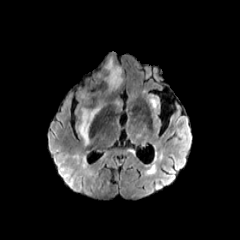
FLAIR MR image.
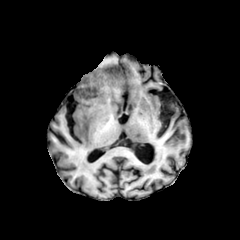
T1-weighted MRI.
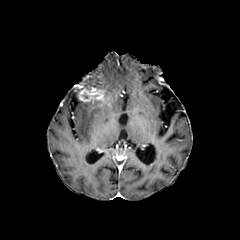
Post-contrast T1-weighted magnetic resonance.
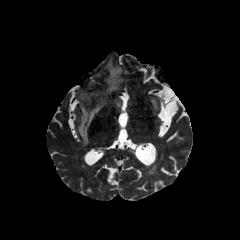
T2-weighted MRI of the same slice.
240x240 | Brain
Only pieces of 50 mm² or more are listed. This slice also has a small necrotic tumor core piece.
Findings:
• enhancing tumor: 78, 85, 104, 102
• peritumoral edema: 78, 102, 104, 145; 106, 59, 122, 90